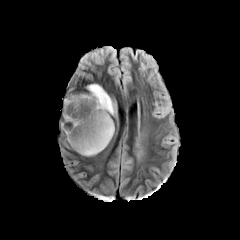
FLAIR MR image.
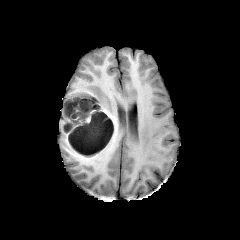
T1-weighted MR image.
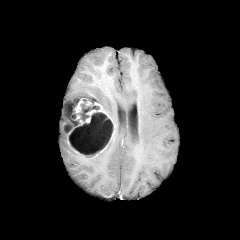
Post-contrast T1-weighted magnetic resonance of the same slice.
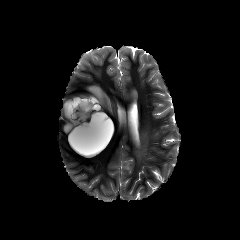
T2-weighted MRI.
Head
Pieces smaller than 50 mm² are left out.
necrotic tumor core: (64,93,113,155) | peritumoral edema: (87,84,115,115) | enhancing tumor: (61,91,112,135), (71,99,92,120)